Axial view; Slice index 67; Head
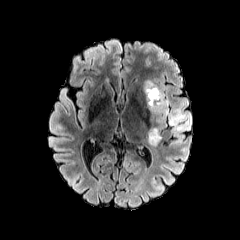
FLAIR MR image.
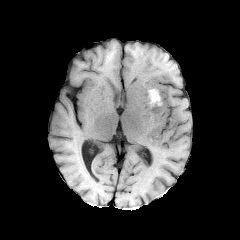
Same slice, T1-weighted MRI.
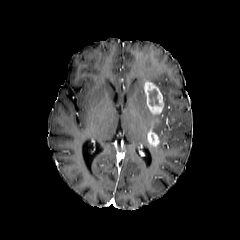
Post-contrast T1-weighted MR image of the same slice.
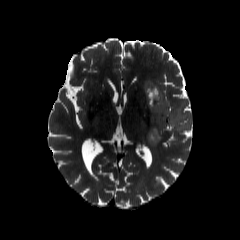
T2-weighted magnetic resonance.
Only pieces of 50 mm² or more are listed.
enhancing tumor at 147,122,160,146; 144,81,164,115
peritumoral edema at 146,79,190,134
necrotic tumor core at 149,89,158,105